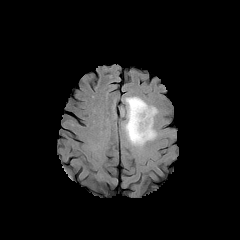
FLAIR MR image.
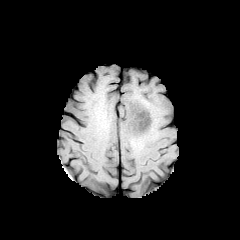
T1-weighted magnetic resonance of the same slice.
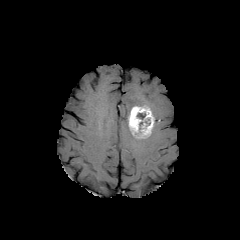
Same slice, post-contrast T1-weighted magnetic resonance.
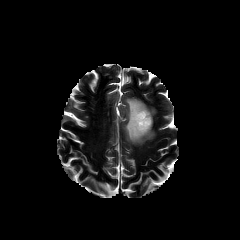
T2-weighted magnetic resonance.
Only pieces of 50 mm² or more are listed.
- enhancing tumor: x1=128, y1=105, x2=154, y2=138
- peritumoral edema: x1=123, y1=97, x2=157, y2=146